FLAIR MRI.
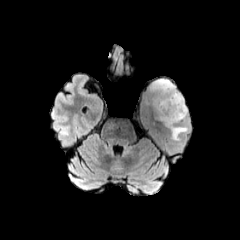
T1-weighted MRI.
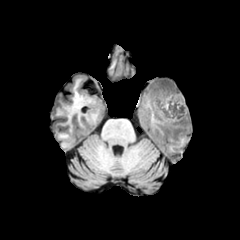
Post-contrast T1-weighted MR.
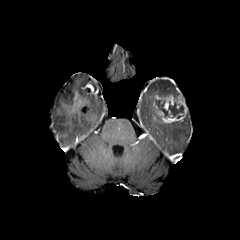
T2-weighted MR image.
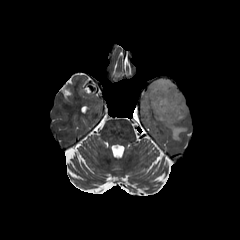
240x240 px | Axial view
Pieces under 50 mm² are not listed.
necrotic_tumor_core:
  - l=156, t=100, r=169, b=117
  - l=168, t=102, r=183, b=116
enhancing_tumor:
  - l=150, t=91, r=187, b=123
peritumoral_edema:
  - l=165, t=121, r=187, b=140
  - l=149, t=79, r=180, b=98